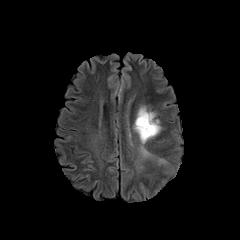
FLAIR MR.
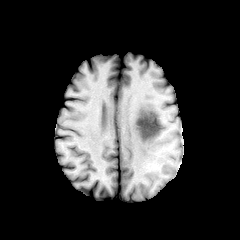
T1-weighted MR.
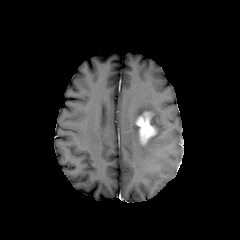
Post-contrast T1-weighted MR image of the same slice.
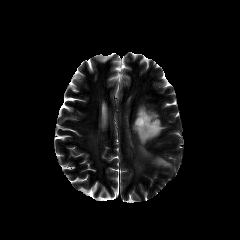
T2-weighted MRI of the same slice.
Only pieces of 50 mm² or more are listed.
Findings:
- enhancing tumor: [136,112,157,143]
- peritumoral edema: [141,147,149,156], [136,106,148,119], [150,112,161,135]